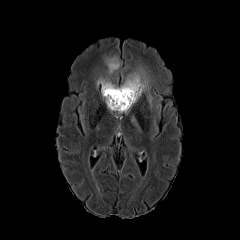
FLAIR MR.
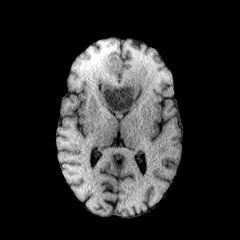
T1-weighted MR image.
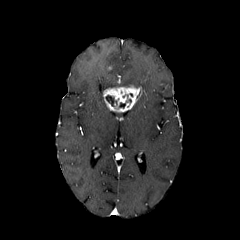
Post-contrast T1-weighted magnetic resonance.
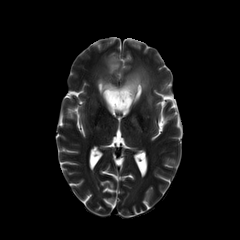
T2-weighted MRI.
240x240. Axial plane. Head.
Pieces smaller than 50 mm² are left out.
Findings:
• necrotic tumor core: box=[106, 95, 114, 106]
• peritumoral edema: box=[105, 56, 120, 73]; box=[96, 77, 117, 95]; box=[131, 116, 138, 126]; box=[121, 68, 150, 93]
• enhancing tumor: box=[103, 84, 141, 112]